Brain | Axial plane | Slice 74/155
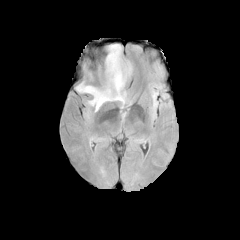
FLAIR MR.
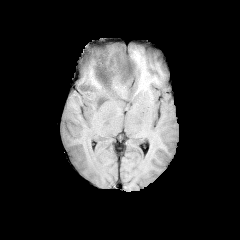
T1-weighted MRI.
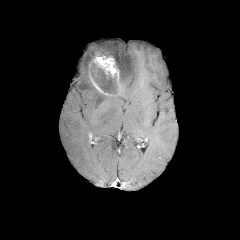
Post-contrast T1-weighted MRI of the same slice.
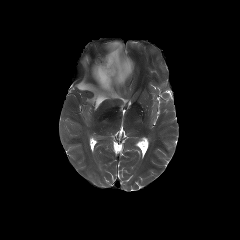
T2-weighted magnetic resonance of the same slice.
The enhancing tumor appears at 88 51 126 96. 2 peritumoral edema regions are bounded by 76 81 125 110, 105 44 133 83. The necrotic tumor core is at 92 64 117 94.